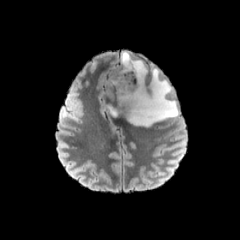
FLAIR magnetic resonance.
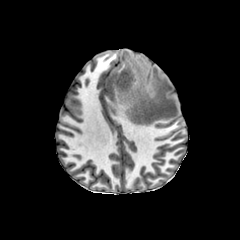
T1-weighted MRI.
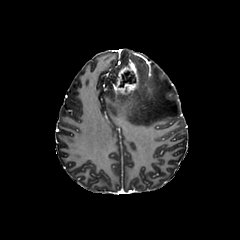
Post-contrast T1-weighted MRI of the same slice.
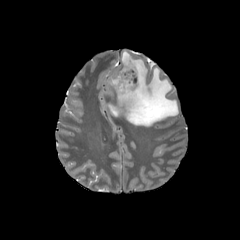
T2-weighted MR image.
240x240, Axial slice, Head
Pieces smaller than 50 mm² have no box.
{
  "enhancing_tumor": [
    "113:60:139:96"
  ],
  "necrotic_tumor_core": [
    "119:71:136:87"
  ],
  "peritumoral_edema": [
    "108:105:117:116",
    "116:51:178:126"
  ]
}